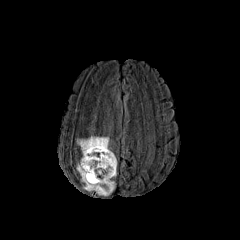
FLAIR magnetic resonance.
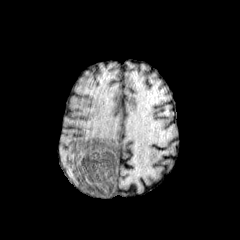
T1-weighted MR image.
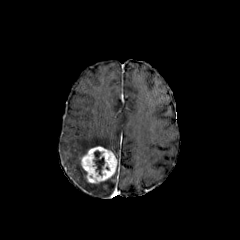
Post-contrast T1-weighted MR image.
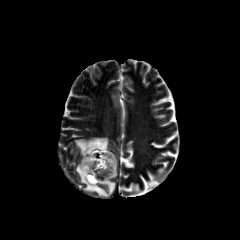
T2-weighted MRI of the same slice.
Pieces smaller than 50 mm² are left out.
Findings:
- enhancing tumor: l=81, t=146, r=117, b=183
- necrotic tumor core: l=93, t=151, r=104, b=175
- peritumoral edema: l=76, t=136, r=109, b=155; l=76, t=161, r=116, b=196